Head; Slice 115/155
FLAIR magnetic resonance.
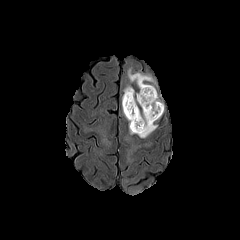
T1-weighted MR.
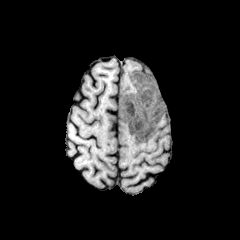
Post-contrast T1-weighted MRI.
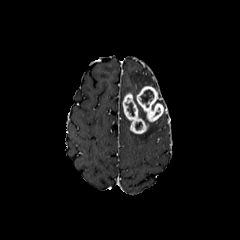
T2-weighted MR.
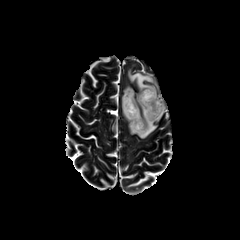
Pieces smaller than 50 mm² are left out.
The 2 largest necrotic tumor core regions appear at <bbox>141, 90, 153, 102</bbox>, <bbox>127, 103, 134, 115</bbox>. 2 enhancing tumor regions appear at <bbox>136, 86, 164, 122</bbox>, <bbox>122, 93, 148, 134</bbox>. The 2 largest peritumoral edema regions are located at <bbox>122, 85, 157, 138</bbox>, <bbox>128, 69, 155, 90</bbox>.